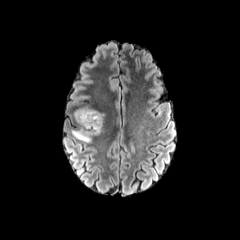
FLAIR magnetic resonance.
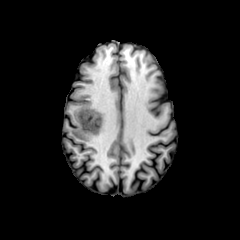
Same slice, T1-weighted MR image.
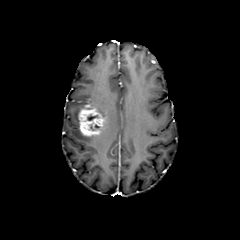
Post-contrast T1-weighted MR.
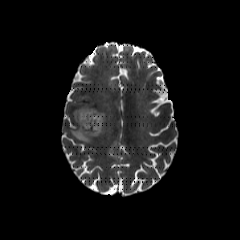
Same slice, T2-weighted MRI.
Brain, Axial view
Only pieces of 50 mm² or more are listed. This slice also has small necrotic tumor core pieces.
enhancing_tumor:
  - <bbox>78, 104, 104, 136</bbox>
peritumoral_edema:
  - <bbox>74, 108, 80, 126</bbox>
  - <bbox>71, 129, 94, 143</bbox>